FLAIR magnetic resonance.
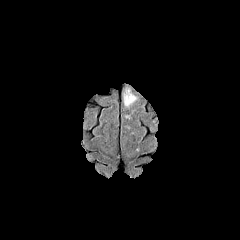
T1-weighted MR image.
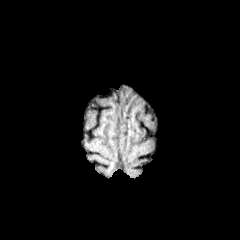
Post-contrast T1-weighted MRI.
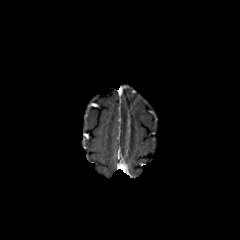
T2-weighted MRI.
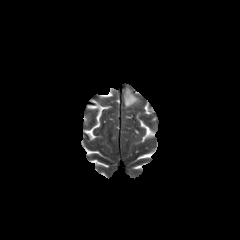
Head; Axial slice
The peritumoral edema is at 123, 93, 137, 105.